Axial view, Slice index 117, Brain
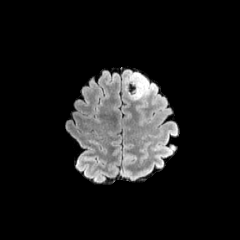
FLAIR MRI.
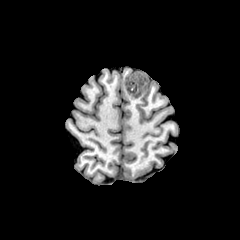
Same slice, T1-weighted MRI.
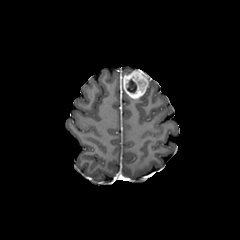
Post-contrast T1-weighted magnetic resonance.
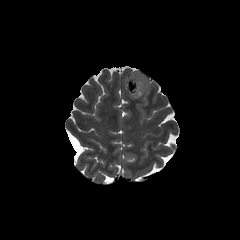
T2-weighted MRI.
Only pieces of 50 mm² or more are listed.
Annotated regions:
• enhancing tumor: bbox=[123, 71, 148, 98]
• necrotic tumor core: bbox=[127, 79, 136, 92]
• peritumoral edema: bbox=[143, 84, 154, 95]